Head
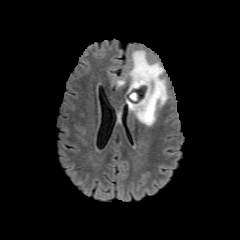
FLAIR magnetic resonance.
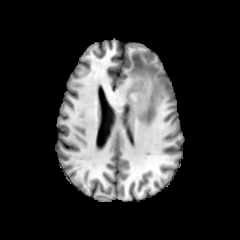
T1-weighted MR image of the same slice.
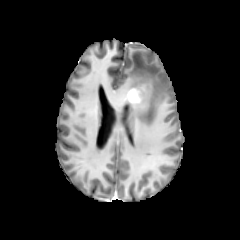
Post-contrast T1-weighted MRI.
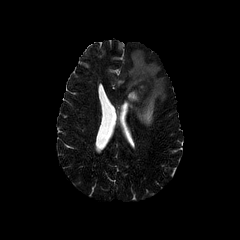
Same slice, T2-weighted MR.
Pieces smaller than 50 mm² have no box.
Segmented structures:
- peritumoral edema: 127,50,166,126
- enhancing tumor: 127,82,147,103